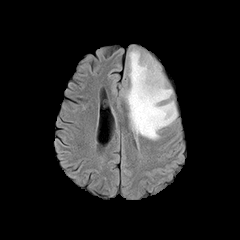
FLAIR MR image.
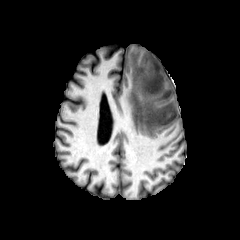
T1-weighted MR.
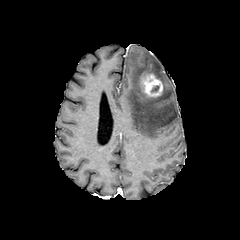
Post-contrast T1-weighted magnetic resonance.
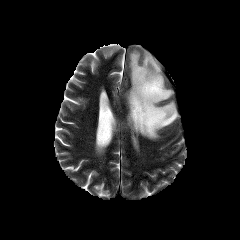
T2-weighted MR.
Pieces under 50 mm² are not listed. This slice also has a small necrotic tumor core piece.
peritumoral edema = (left=126, top=50, right=177, bottom=139)
enhancing tumor = (left=140, top=72, right=163, bottom=97)